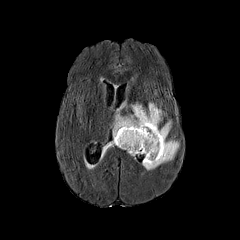
FLAIR MR.
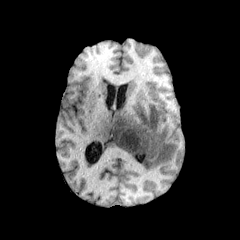
Same slice, T1-weighted magnetic resonance.
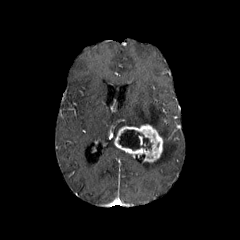
Post-contrast T1-weighted MR.
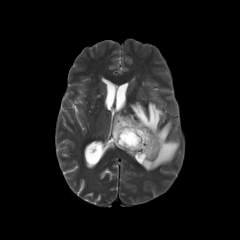
T2-weighted MR image.
Axial plane, Head
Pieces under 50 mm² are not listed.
The peritumoral edema lies within [x1=105, y1=102, x2=179, y2=170]. The necrotic tumor core appears at [x1=119, y1=129, x2=151, y2=150]. The largest enhancing tumor region is located at [x1=114, y1=124, x2=163, y2=162].